FLAIR MRI.
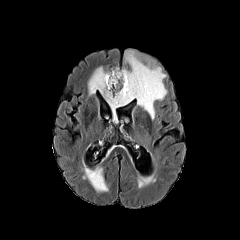
T1-weighted MR.
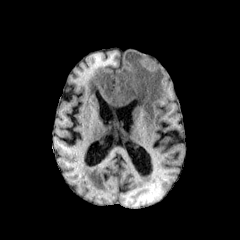
Post-contrast T1-weighted MRI.
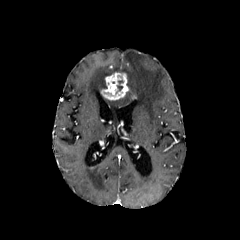
T2-weighted MRI.
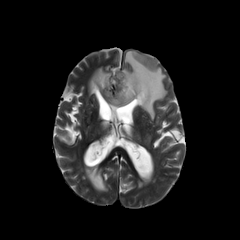
Head. Image size 240x240.
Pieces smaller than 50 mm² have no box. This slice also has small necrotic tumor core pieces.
enhancing tumor: bounding box 100, 72, 129, 100
peritumoral edema: bounding box 85, 168, 107, 191; 88, 66, 119, 95; 106, 50, 167, 119